FLAIR magnetic resonance.
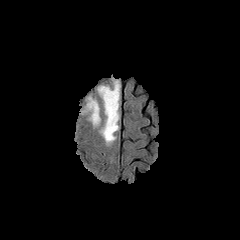
T1-weighted MR image.
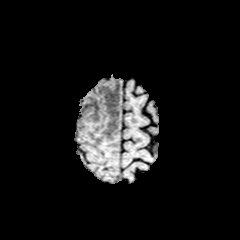
Post-contrast T1-weighted MR.
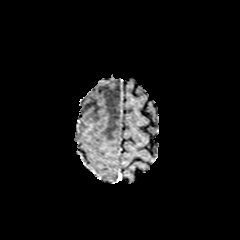
T2-weighted MR image.
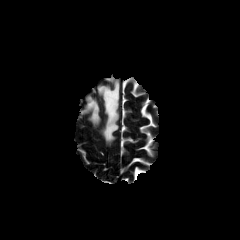
Brain
2 peritumoral edema regions are located at bbox=[98, 80, 119, 144]; bbox=[82, 96, 100, 125].